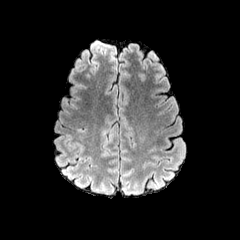
FLAIR MR.
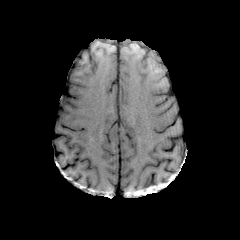
Same slice, T1-weighted magnetic resonance.
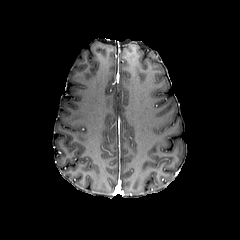
Post-contrast T1-weighted MRI.
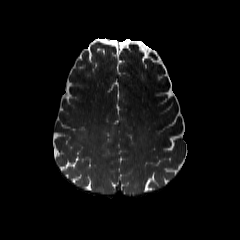
T2-weighted MR.
240x240, Head
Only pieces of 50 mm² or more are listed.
{
  "peritumoral_edema": [
    "102 138 108 156"
  ]
}